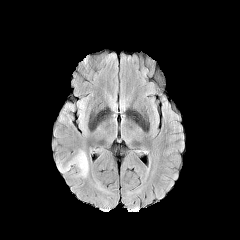
FLAIR MR.
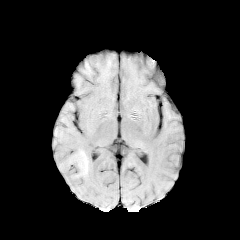
T1-weighted magnetic resonance.
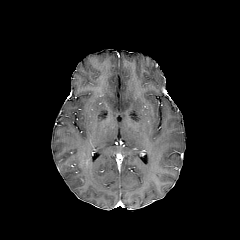
Post-contrast T1-weighted MR image.
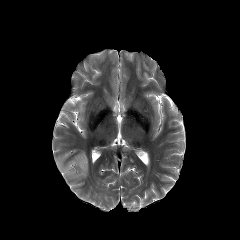
Same slice, T2-weighted MR.
Axial slice. Brain. 240x240.
Annotated regions:
• peritumoral edema: bbox=[56, 150, 88, 177]